FLAIR MR.
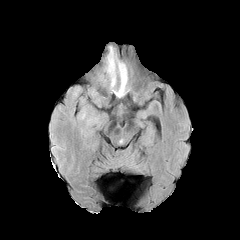
T1-weighted MR image.
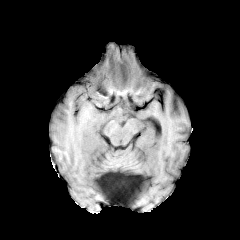
Post-contrast T1-weighted MRI.
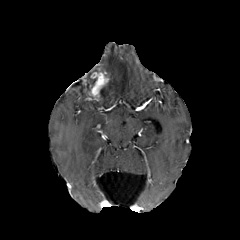
T2-weighted MR.
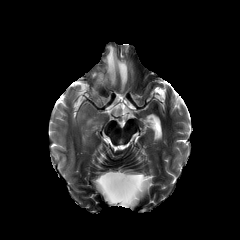
Head
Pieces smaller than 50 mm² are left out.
<segmentation>
  <enhancing_tumor>89 68 110 101</enhancing_tumor>
  <peritumoral_edema>73 88 81 96, 102 46 128 97</peritumoral_edema>
</segmentation>